Slice index 77, Axial plane
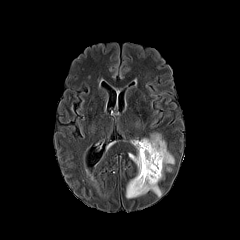
FLAIR MR.
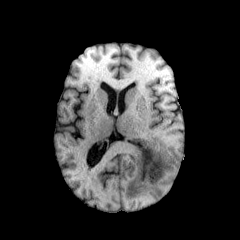
Same slice, T1-weighted MRI.
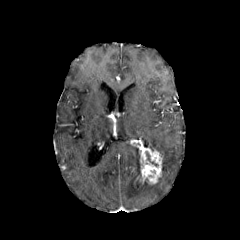
Same slice, post-contrast T1-weighted magnetic resonance.
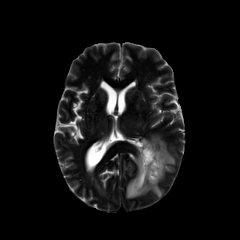
T2-weighted MR of the same slice.
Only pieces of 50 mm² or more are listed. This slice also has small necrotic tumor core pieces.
peritumoral edema — x1=140, y1=133, x2=174, y2=180; x1=128, y1=147, x2=140, y2=174; x1=126, y1=178, x2=162, y2=198
enhancing tumor — x1=133, y1=141, x2=162, y2=191